Brain | Axial slice | Slice 70/155
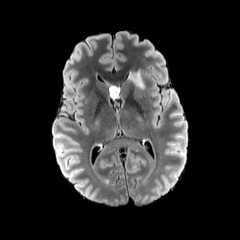
FLAIR magnetic resonance.
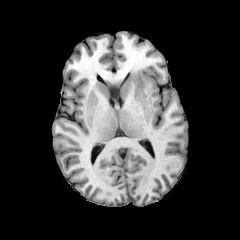
T1-weighted MRI.
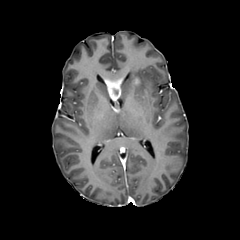
Same slice, post-contrast T1-weighted MR.
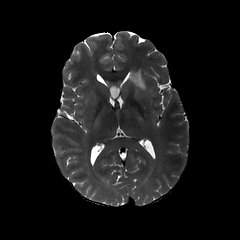
T2-weighted magnetic resonance.
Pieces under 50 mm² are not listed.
<segmentation>
  <peritumoral_edema>127:68:146:89</peritumoral_edema>
  <enhancing_tumor>104:79:121:100</enhancing_tumor>
</segmentation>